Brain.
FLAIR MR.
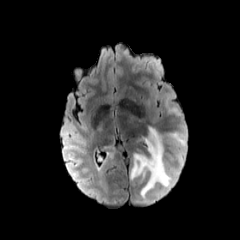
T1-weighted MRI.
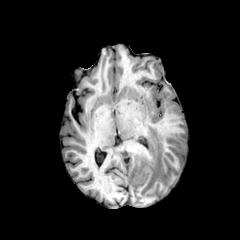
Post-contrast T1-weighted MR image.
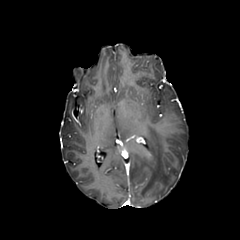
T2-weighted MR image.
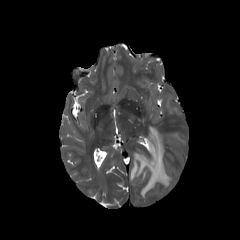
{
  "peritumoral_edema": [
    "<box>130,127,171,197</box>"
  ]
}